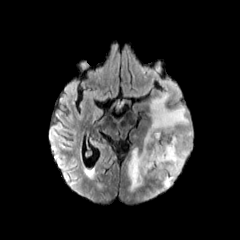
FLAIR magnetic resonance.
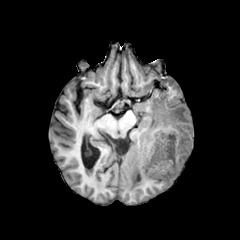
Same slice, T1-weighted MR image.
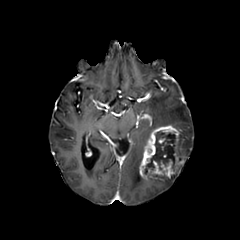
Post-contrast T1-weighted MRI.
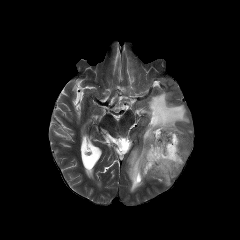
T2-weighted MR image of the same slice.
240x240 px, Axial slice
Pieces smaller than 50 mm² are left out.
enhancing tumor = 139,125,186,181
peritumoral edema = 162,173,179,190; 126,94,192,191
necrotic tumor core = 144,130,175,174